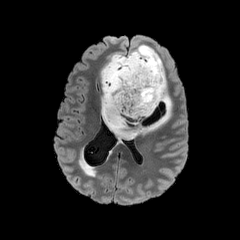
FLAIR MR image.
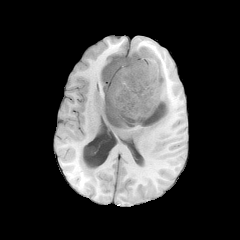
T1-weighted MRI.
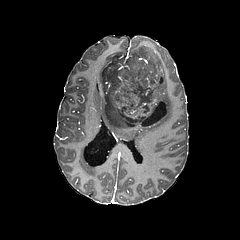
Post-contrast T1-weighted magnetic resonance.
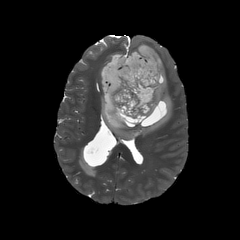
T2-weighted MR image.
Brain
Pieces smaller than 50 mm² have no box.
Segmented structures:
* necrotic tumor core: [x1=102, y1=56, x2=168, y2=128]
* peritumoral edema: [x1=100, y1=44, x2=171, y2=140]